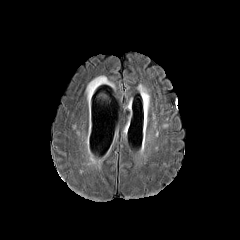
FLAIR magnetic resonance.
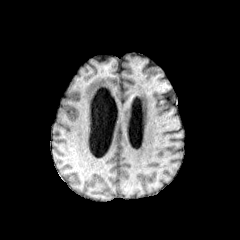
T1-weighted MRI.
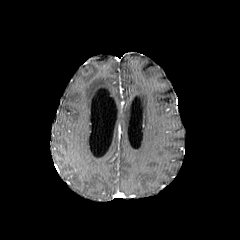
Post-contrast T1-weighted MR.
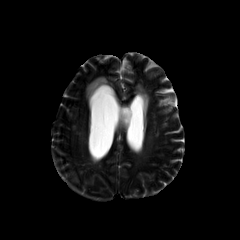
T2-weighted MRI.
Head, 240x240
peritumoral edema: bounding box x1=86 y1=76 x2=111 y2=99